Slice index 44; Head
FLAIR MRI.
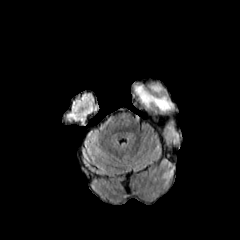
T1-weighted MRI.
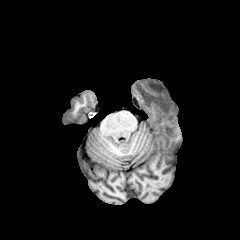
Post-contrast T1-weighted MRI.
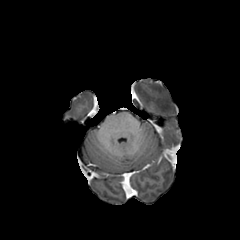
T2-weighted MR image.
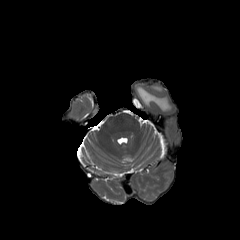
2 peritumoral edema regions are bounded by 135,85,172,111; 150,85,161,92.